FLAIR MR.
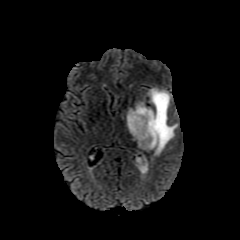
T1-weighted MRI.
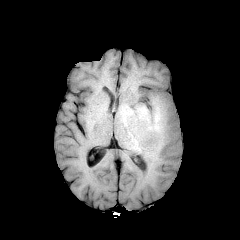
Post-contrast T1-weighted MR image.
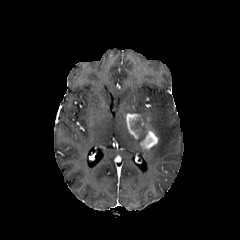
T2-weighted MR image.
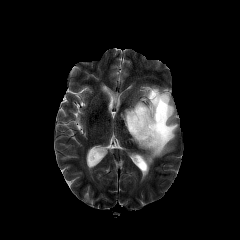
Axial view; 240x240 px
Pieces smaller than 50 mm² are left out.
enhancing tumor: bounding box 126,113,158,150
peritumoral edema: bounding box 132,118,146,148; 126,87,178,161